FLAIR magnetic resonance.
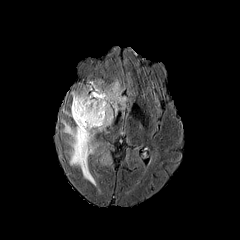
T1-weighted MR.
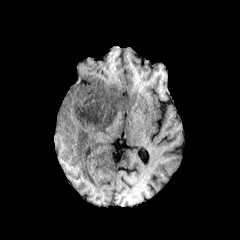
Post-contrast T1-weighted magnetic resonance.
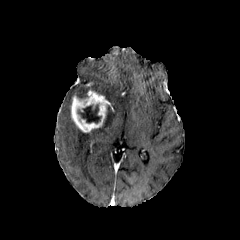
T2-weighted magnetic resonance.
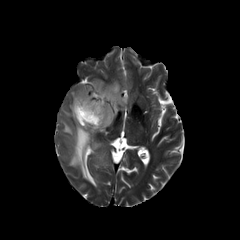
Axial plane.
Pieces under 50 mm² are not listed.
Findings:
* necrotic tumor core: [78,105,100,123]
* peritumoral edema: [71,86,92,97], [61,80,127,186]
* enhancing tumor: [71,90,110,132]